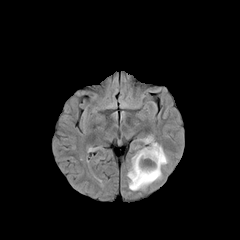
FLAIR MR image.
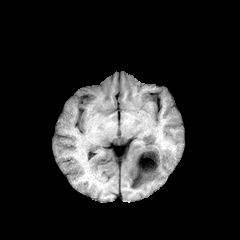
T1-weighted magnetic resonance of the same slice.
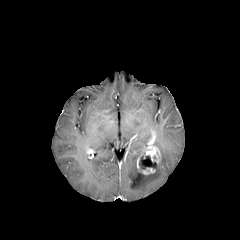
Post-contrast T1-weighted magnetic resonance of the same slice.
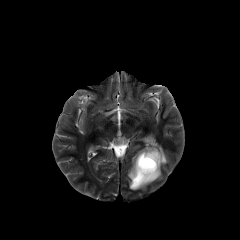
T2-weighted MR image of the same slice.
240x240
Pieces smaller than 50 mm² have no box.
The largest peritumoral edema region appears at region(127, 142, 168, 190). The largest necrotic tumor core region lies within region(139, 155, 157, 169). The enhancing tumor lies within region(136, 143, 160, 174).